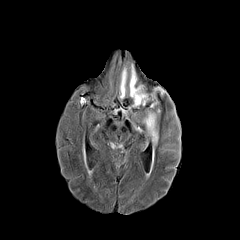
FLAIR MR.
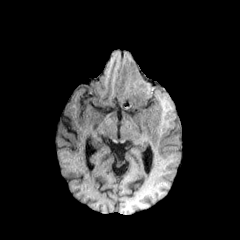
Same slice, T1-weighted MR.
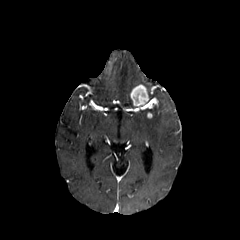
Same slice, post-contrast T1-weighted MR image.
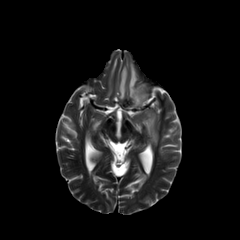
T2-weighted magnetic resonance.
Brain.
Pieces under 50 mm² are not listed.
<segmentation>
  <peritumoral_edema>(x1=119, y1=65, x2=127, y2=100), (x1=142, y1=112, x2=158, y2=148), (x1=129, y1=64, x2=137, y2=92)</peritumoral_edema>
  <enhancing_tumor>(x1=130, y1=84, x2=148, y2=106)</enhancing_tumor>
</segmentation>